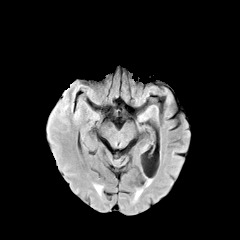
FLAIR magnetic resonance.
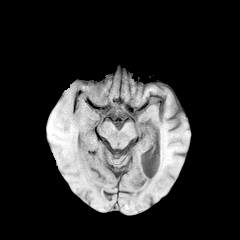
T1-weighted MR.
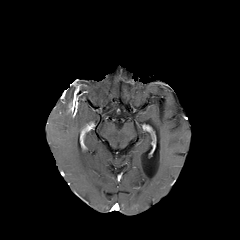
Same slice, post-contrast T1-weighted magnetic resonance.
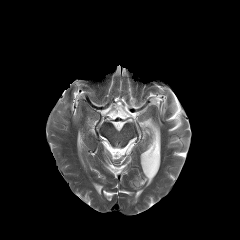
T2-weighted MR image of the same slice.
Brain
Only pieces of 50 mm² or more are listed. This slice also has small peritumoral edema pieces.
enhancing tumor at [x1=69, y1=90, x2=76, y2=111]